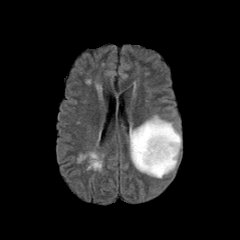
FLAIR MRI.
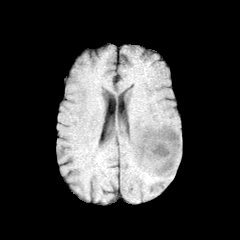
T1-weighted MR image.
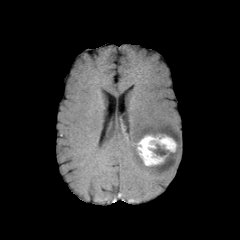
Same slice, post-contrast T1-weighted magnetic resonance.
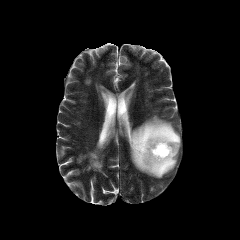
Same slice, T2-weighted MRI.
Axial plane.
<segmentation>
  <peritumoral_edema>129:115:181:178</peritumoral_edema>
  <enhancing_tumor>136:133:177:166</enhancing_tumor>
  <necrotic_tumor_core>154:144:168:156</necrotic_tumor_core>
</segmentation>